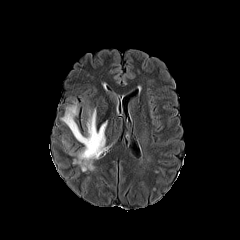
FLAIR MRI.
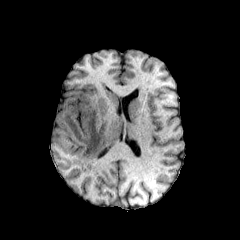
T1-weighted magnetic resonance.
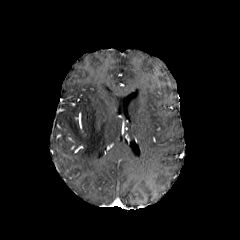
Post-contrast T1-weighted MR image of the same slice.
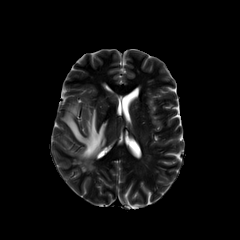
T2-weighted magnetic resonance.
Head; 240x240
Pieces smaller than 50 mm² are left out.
<segmentation>
  <peritumoral_edema>[x1=61, y1=104, x2=107, y2=171]</peritumoral_edema>
</segmentation>